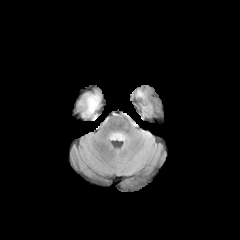
FLAIR MRI.
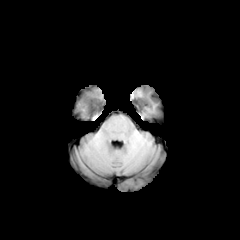
T1-weighted MRI.
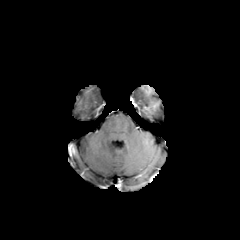
Same slice, post-contrast T1-weighted magnetic resonance.
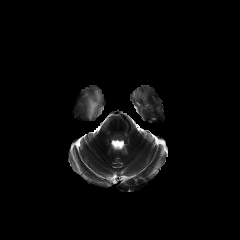
T2-weighted magnetic resonance.
Head.
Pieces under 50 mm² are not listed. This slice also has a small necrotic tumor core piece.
The peritumoral edema is bounded by <bbox>84, 92, 100, 117</bbox>.